FLAIR MRI.
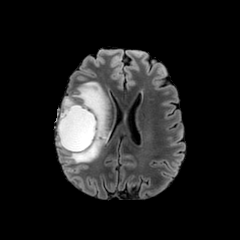
T1-weighted MR.
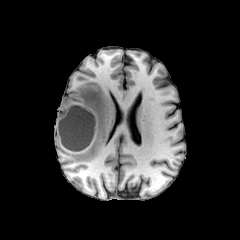
Post-contrast T1-weighted MR.
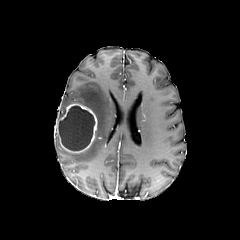
T2-weighted magnetic resonance.
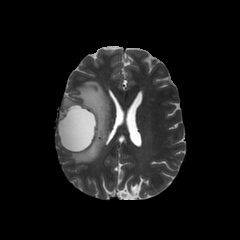
Brain
enhancing tumor — 56, 103, 97, 153
peritumoral edema — 59, 96, 76, 119; 56, 82, 109, 163
necrotic tumor core — 58, 106, 94, 150